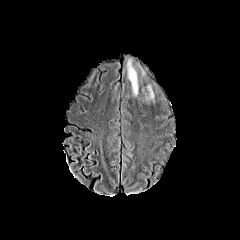
FLAIR MR.
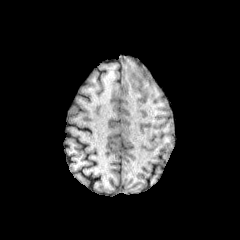
T1-weighted MR.
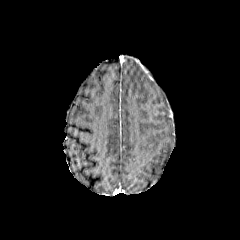
Post-contrast T1-weighted magnetic resonance of the same slice.
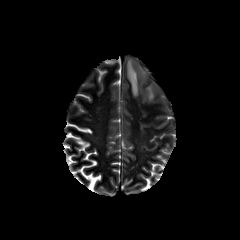
T2-weighted MR.
240x240 | Head
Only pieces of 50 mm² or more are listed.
The 2 largest peritumoral edema regions appear at (left=147, top=84, right=154, bottom=102), (left=126, top=58, right=138, bottom=95).